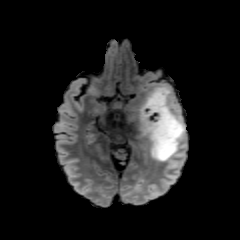
FLAIR MR.
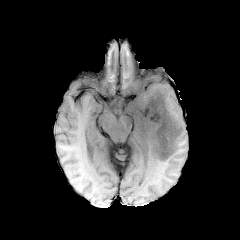
T1-weighted magnetic resonance.
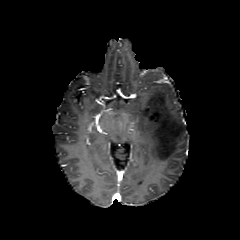
Same slice, post-contrast T1-weighted MR image.
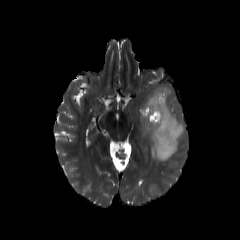
Same slice, T2-weighted MRI.
Head.
peritumoral edema: left=138, top=85, right=186, bottom=162